FLAIR MRI.
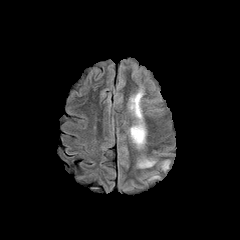
T1-weighted magnetic resonance.
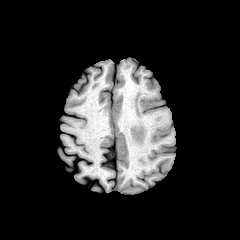
Post-contrast T1-weighted magnetic resonance.
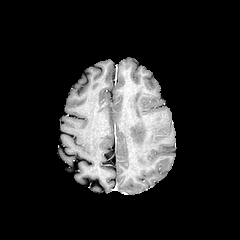
T2-weighted magnetic resonance.
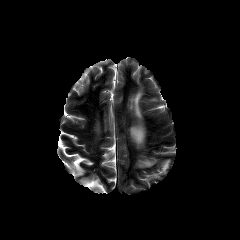
240x240. Head.
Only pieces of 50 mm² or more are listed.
peritumoral edema: x1=140, y1=161, x2=153, y2=166; x1=130, y1=124, x2=145, y2=145; x1=131, y1=92, x2=141, y2=118